FLAIR MR image.
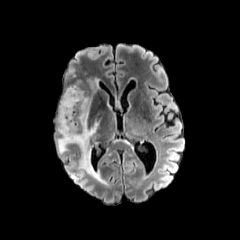
T1-weighted MR image.
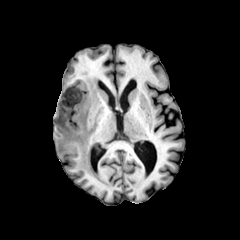
Post-contrast T1-weighted MRI.
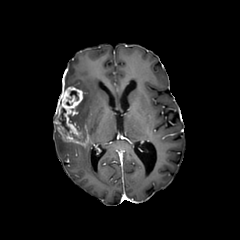
T2-weighted MR image.
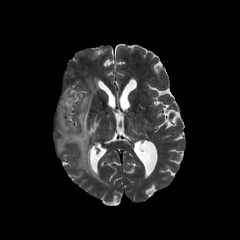
Head | Axial view
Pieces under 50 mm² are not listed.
• peritumoral edema: <bbox>57, 138, 71, 153</bbox>, <bbox>78, 96, 91, 129</bbox>, <bbox>90, 80, 97, 88</bbox>, <bbox>79, 143, 99, 179</bbox>, <bbox>88, 121, 98, 137</bbox>
• necrotic tumor core: <bbox>58, 108, 69, 134</bbox>, <bbox>72, 131, 85, 141</bbox>
• enhancing tumor: <bbox>54, 86, 89, 146</bbox>